Axial plane. Slice index 59.
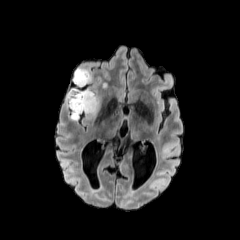
FLAIR MR image.
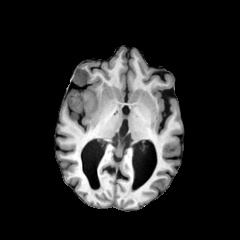
T1-weighted MR image of the same slice.
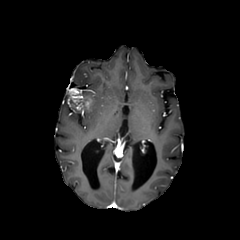
Same slice, post-contrast T1-weighted magnetic resonance.
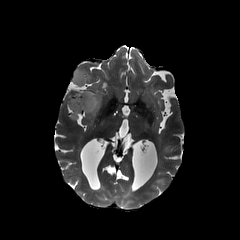
Same slice, T2-weighted MRI.
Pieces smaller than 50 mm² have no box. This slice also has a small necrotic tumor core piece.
Segmented structures:
* peritumoral edema: (73, 69, 90, 86), (71, 95, 97, 120)
* enhancing tumor: (67, 87, 94, 112)